FLAIR MR image.
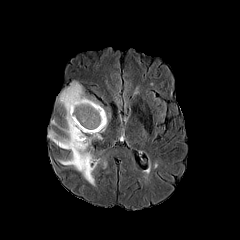
T1-weighted magnetic resonance.
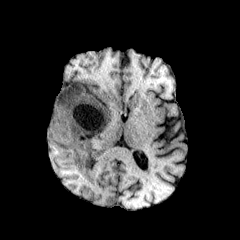
Post-contrast T1-weighted magnetic resonance.
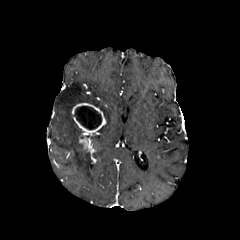
T2-weighted magnetic resonance.
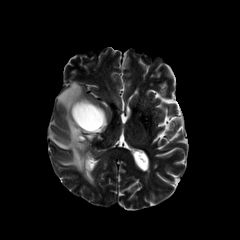
Head, Axial slice
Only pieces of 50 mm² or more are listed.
{"enhancing_tumor": ["<box>72,103,106,134</box>", "<box>79,136,87,149</box>"], "peritumoral_edema": ["<box>48,81,107,185</box>"], "necrotic_tumor_core": ["<box>74,106,101,129</box>"]}